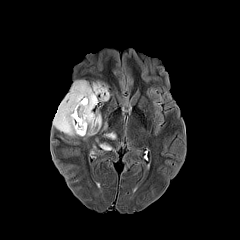
FLAIR magnetic resonance.
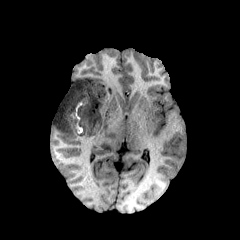
Same slice, T1-weighted magnetic resonance.
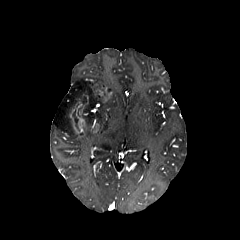
Same slice, post-contrast T1-weighted MRI.
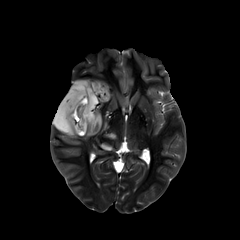
Same slice, T2-weighted magnetic resonance.
Axial view | Brain
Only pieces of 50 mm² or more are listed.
The 5 largest peritumoral edema regions appear at [105,133,115,138], [82,131,96,139], [95,111,101,129], [53,80,107,137], [99,143,111,150]. The 2 largest enhancing tumor regions appear at [96,87,108,96], [69,99,86,136]. The 3 largest necrotic tumor core regions are located at [72,109,79,131], [77,92,106,133], [79,96,87,104].